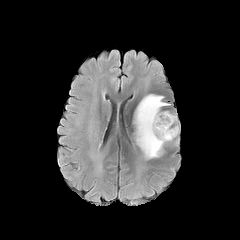
FLAIR MR image.
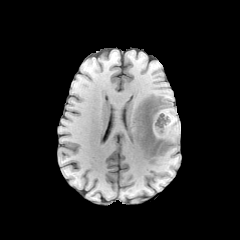
T1-weighted MRI of the same slice.
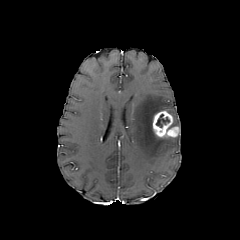
Post-contrast T1-weighted MRI.
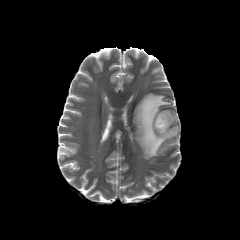
T2-weighted MR of the same slice.
Image size 240x240 | Head | Axial plane
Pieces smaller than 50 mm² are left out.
{"enhancing_tumor": ["152, 111, 179, 137"], "necrotic_tumor_core": ["156, 114, 169, 127"], "peritumoral_edema": ["133, 94, 173, 159"]}